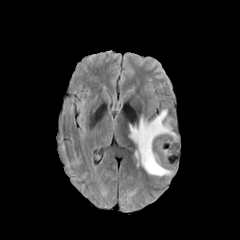
FLAIR magnetic resonance.
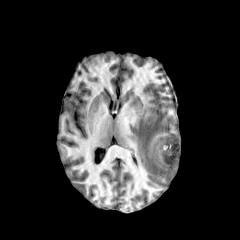
T1-weighted MR image of the same slice.
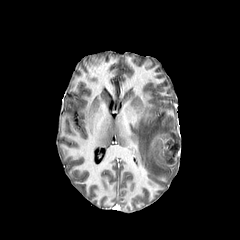
Post-contrast T1-weighted MR.
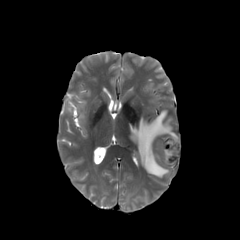
Same slice, T2-weighted MR image.
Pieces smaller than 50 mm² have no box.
enhancing tumor at (161, 138, 173, 151), (157, 151, 179, 167)
peritumoral edema at (129, 109, 173, 177)
necrotic tumor core at (160, 136, 178, 164)